FLAIR MR.
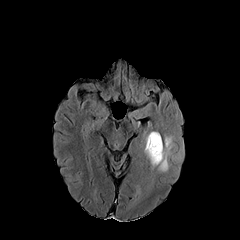
T1-weighted MR.
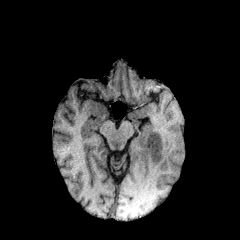
Post-contrast T1-weighted magnetic resonance.
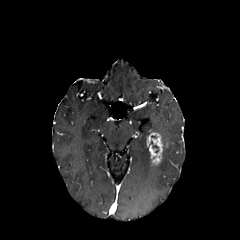
T2-weighted MR.
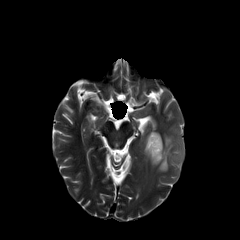
Image size 240x240
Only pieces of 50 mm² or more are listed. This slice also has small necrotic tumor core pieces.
enhancing tumor: (146,132,163,165)
peritumoral edema: (157,134,181,171), (144,136,149,158)